FLAIR MRI.
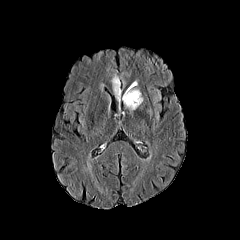
T1-weighted MRI.
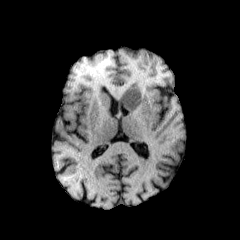
Post-contrast T1-weighted MR image.
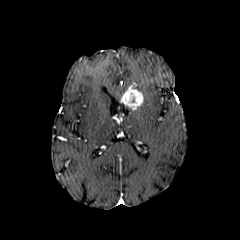
T2-weighted magnetic resonance.
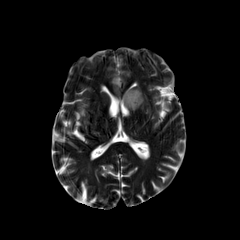
Axial plane
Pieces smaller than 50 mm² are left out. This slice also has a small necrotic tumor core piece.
Findings:
• enhancing tumor: {"x1": 120, "y1": 87, "x2": 143, "y2": 110}
• peritumoral edema: {"x1": 112, "y1": 76, "x2": 120, "y2": 101}